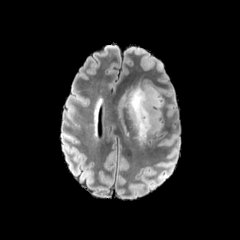
FLAIR MRI.
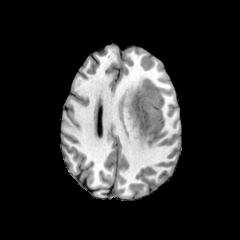
T1-weighted MR.
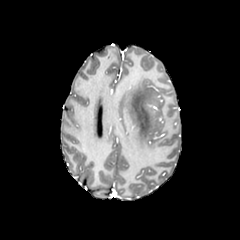
Post-contrast T1-weighted MR image.
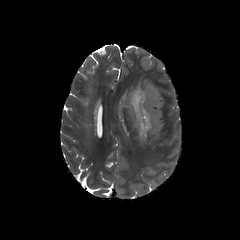
T2-weighted MR.
Axial plane
peritumoral edema = 121 77 163 144